FLAIR MRI.
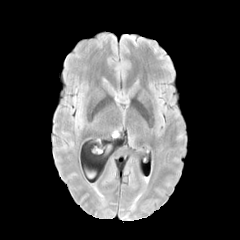
T1-weighted MRI.
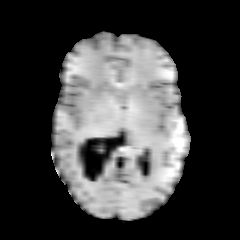
Post-contrast T1-weighted magnetic resonance.
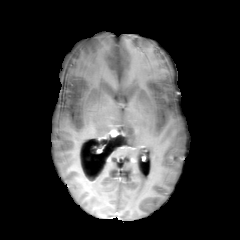
T2-weighted MR image.
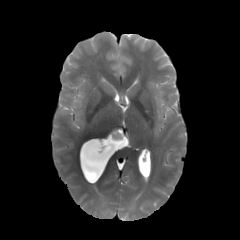
240x240
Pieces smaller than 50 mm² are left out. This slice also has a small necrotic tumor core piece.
enhancing tumor: x1=109 y1=129 x2=119 y2=137